FLAIR MRI.
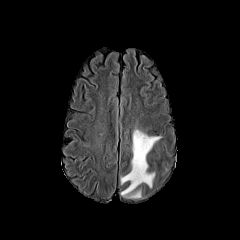
T1-weighted magnetic resonance.
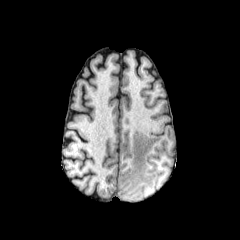
Post-contrast T1-weighted MR.
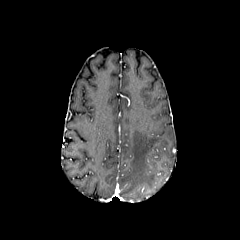
T2-weighted MR.
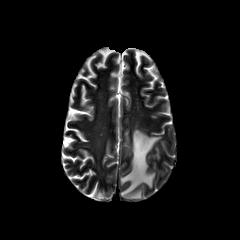
240x240, Brain
peritumoral_edema:
  - [120,128,161,198]